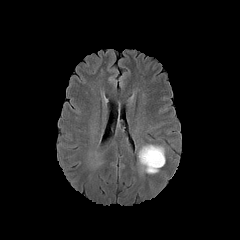
FLAIR MR.
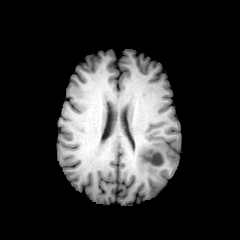
T1-weighted magnetic resonance.
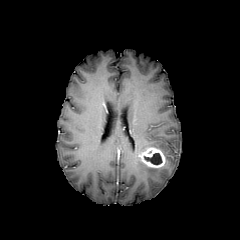
Post-contrast T1-weighted MRI.
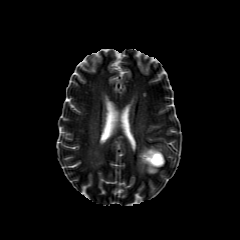
T2-weighted MR of the same slice.
The peritumoral edema lies within 138 145 164 173. The necrotic tumor core is bounded by 144 153 162 164. The enhancing tumor appears at 139 147 165 167.